Slice index 98 | Brain
FLAIR MRI.
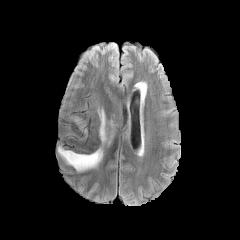
T1-weighted MRI.
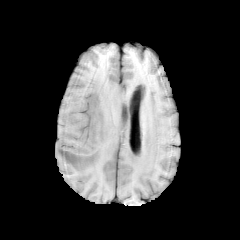
Post-contrast T1-weighted MR image.
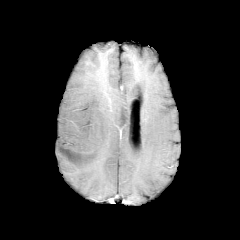
T2-weighted MRI.
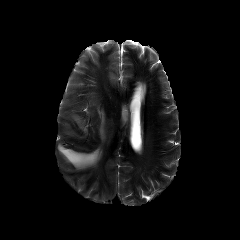
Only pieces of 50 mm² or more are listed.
peritumoral_edema:
  - (left=98, top=109, right=106, bottom=142)
  - (left=74, top=117, right=83, bottom=128)
  - (left=57, top=145, right=102, bottom=170)